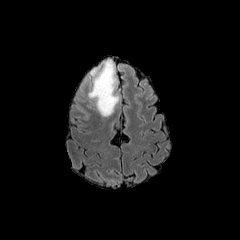
FLAIR MR image.
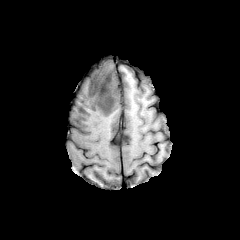
T1-weighted magnetic resonance of the same slice.
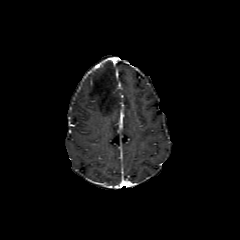
Post-contrast T1-weighted MRI of the same slice.
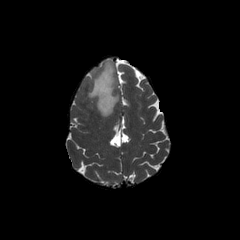
Same slice, T2-weighted MR.
Head; Axial view
peritumoral edema: <bbox>88, 60, 119, 116</bbox>